Slice index 63; Brain; 240x240 px
FLAIR magnetic resonance.
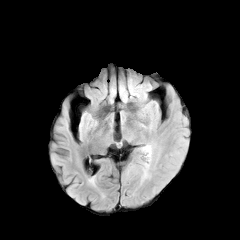
T1-weighted MR.
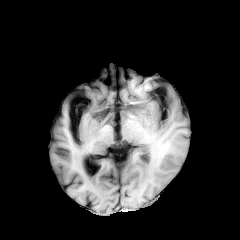
Post-contrast T1-weighted magnetic resonance.
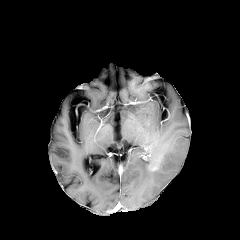
T2-weighted MR image.
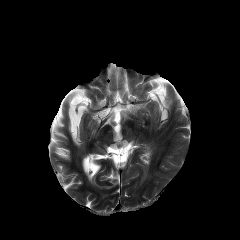
The peritumoral edema is located at l=145, t=146, r=151, b=157.